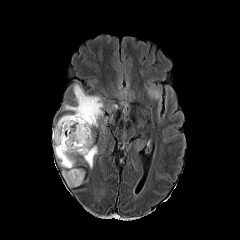
FLAIR MR image.
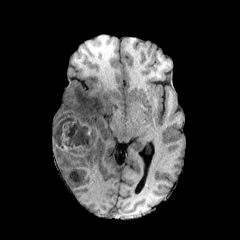
T1-weighted magnetic resonance.
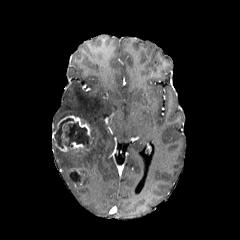
Same slice, post-contrast T1-weighted MRI.
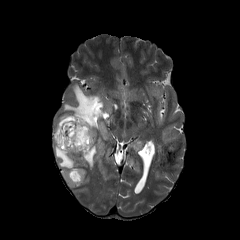
Same slice, T2-weighted MR image.
Brain; 240x240 px
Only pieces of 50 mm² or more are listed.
enhancing tumor: bounding box bbox=[70, 142, 87, 151]; bbox=[57, 115, 90, 137]; bbox=[55, 143, 68, 151]
peritumoral edema: bounding box bbox=[53, 139, 97, 187]; bbox=[64, 83, 103, 134]; bbox=[148, 87, 161, 104]
necrotic tumor core: bounding box bbox=[72, 170, 82, 184]; bbox=[54, 118, 92, 150]